Slice 34 of 155, Axial plane, Head
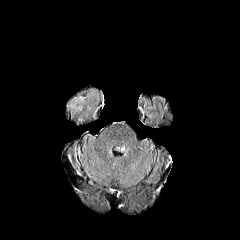
FLAIR MR image.
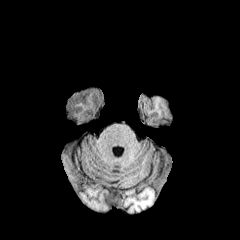
T1-weighted MR image.
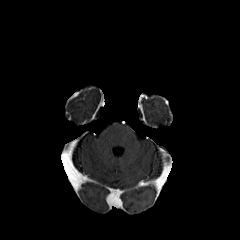
Post-contrast T1-weighted MRI.
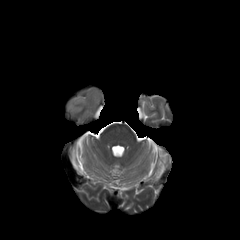
T2-weighted MR image.
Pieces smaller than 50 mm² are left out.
The largest peritumoral edema region lies within region(69, 95, 85, 111).